FLAIR MRI.
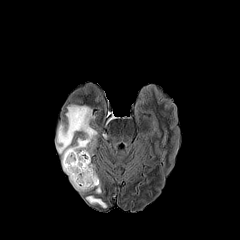
T1-weighted MR image.
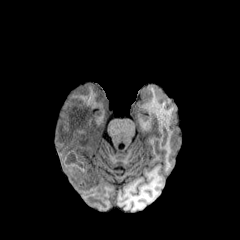
Post-contrast T1-weighted MRI.
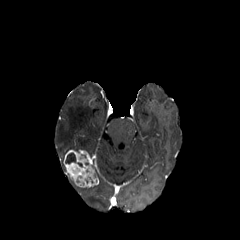
T2-weighted MRI.
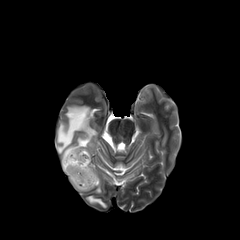
Head.
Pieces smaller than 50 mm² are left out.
Findings:
* necrotic tumor core: region(65, 153, 75, 163)
* enhancing tumor: region(63, 150, 98, 187)
* peritumoral edema: region(86, 196, 106, 207); region(56, 105, 97, 171); region(71, 180, 92, 191)